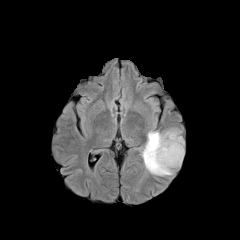
FLAIR MRI.
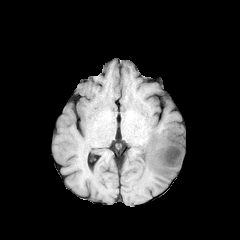
T1-weighted MR image of the same slice.
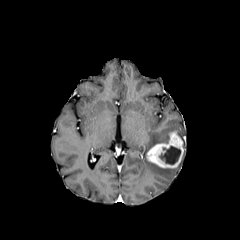
Post-contrast T1-weighted MRI.
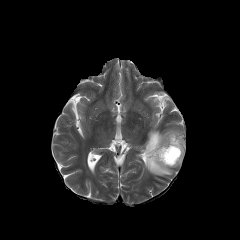
Same slice, T2-weighted MR image.
Head | Axial plane
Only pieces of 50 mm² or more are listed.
- enhancing tumor: 146:131:184:168
- peritumoral edema: 142:129:180:175
- necrotic tumor core: 159:146:180:164